FLAIR magnetic resonance.
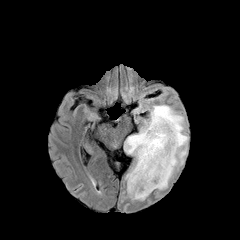
T1-weighted MR image.
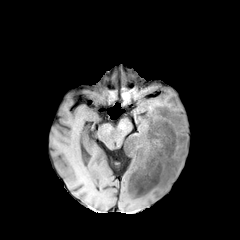
Post-contrast T1-weighted MR image.
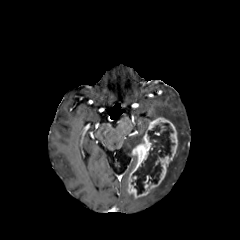
T2-weighted MR.
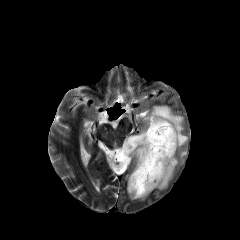
Axial slice.
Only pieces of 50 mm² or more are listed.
• enhancing tumor: (127,117,178,198)
• necrotic tumor core: (132,123,174,194)
• peritumoral edema: (124,105,188,190), (128,189,154,200)